Slice 93 of 155. Axial view.
FLAIR MR image.
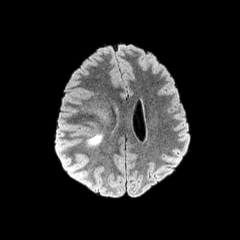
T1-weighted MR.
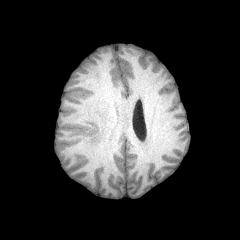
Post-contrast T1-weighted MRI.
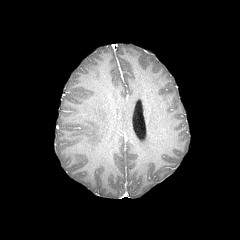
T2-weighted MRI.
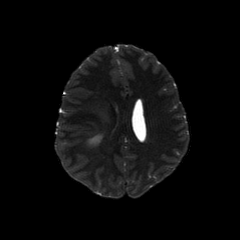
The peritumoral edema is bounded by <box>87,134,102,145</box>.